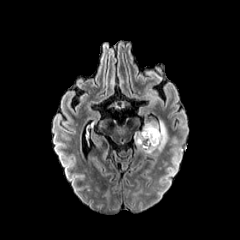
FLAIR MR.
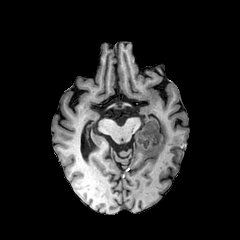
T1-weighted MRI.
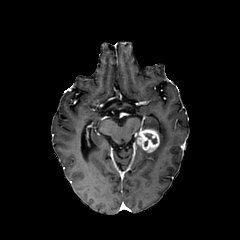
Post-contrast T1-weighted MR image.
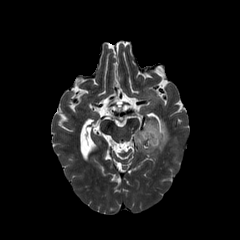
T2-weighted MR.
Image size 240x240, Axial view
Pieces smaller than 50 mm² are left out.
Findings:
* necrotic tumor core: 145 133 156 143
* enhancing tumor: 135 128 159 152
* peritumoral edema: 136 120 168 154